FLAIR magnetic resonance.
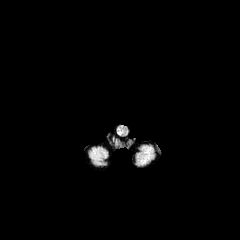
T1-weighted magnetic resonance.
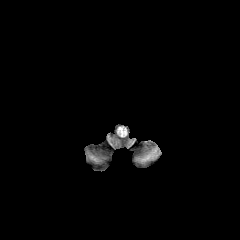
Post-contrast T1-weighted MR.
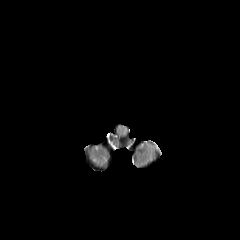
T2-weighted MR.
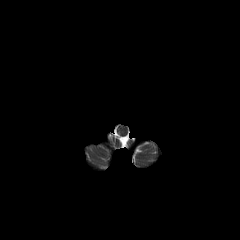
Head, Axial slice, 240x240
peritumoral edema at 117,125,123,135